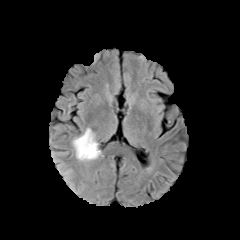
FLAIR magnetic resonance.
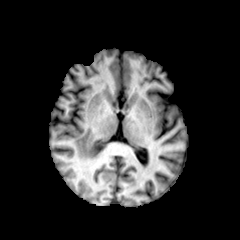
T1-weighted MR image.
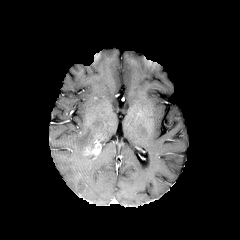
Post-contrast T1-weighted MR.
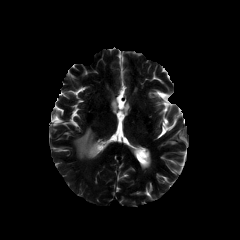
T2-weighted MR image.
Head, Axial view
Segmented structures:
• enhancing tumor: x1=82 y1=143 x2=100 y2=155
• peritumoral edema: x1=73 y1=128 x2=100 y2=160